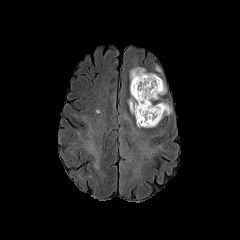
FLAIR MR.
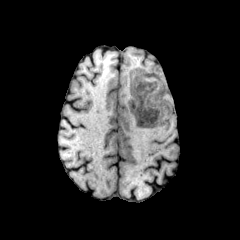
Same slice, T1-weighted MR.
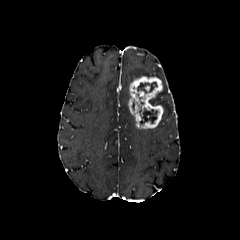
Post-contrast T1-weighted MRI.
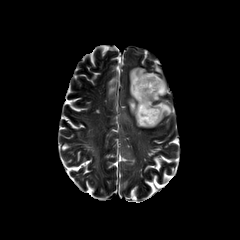
Same slice, T2-weighted MR image.
240x240 px.
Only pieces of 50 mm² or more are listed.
<segmentation>
  <peritumoral_edema>l=129, t=67, r=166, b=105; l=157, t=101, r=172, b=118</peritumoral_edema>
  <enhancing_tumor>l=128, t=76, r=163, b=128</enhancing_tumor>
  <necrotic_tumor_core>l=140, t=109, r=157, b=124; l=137, t=82, r=157, b=93</necrotic_tumor_core>
</segmentation>